Axial slice, Brain, Image covers 240 mm x 240 mm
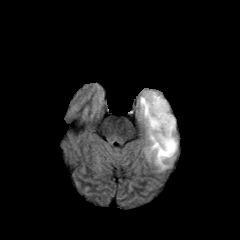
FLAIR MR image.
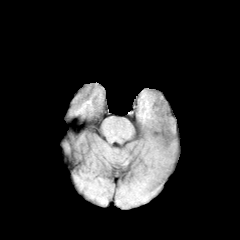
T1-weighted MR.
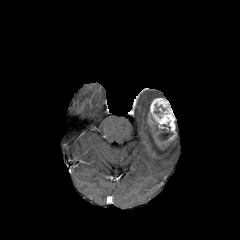
Post-contrast T1-weighted MRI.
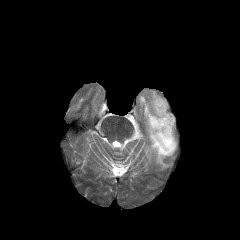
T2-weighted magnetic resonance of the same slice.
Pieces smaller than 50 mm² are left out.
The largest peritumoral edema region appears at x1=135, y1=90, x2=177, y2=170. The 2 largest necrotic tumor core regions appear at x1=159, y1=129, x2=172, y2=140; x1=152, y1=138, x2=173, y2=152. The largest enhancing tumor region is at x1=147, y1=97, x2=176, y2=155.